FLAIR MR.
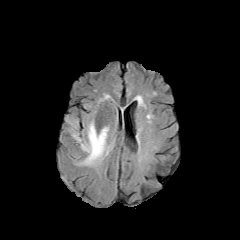
T1-weighted MR image.
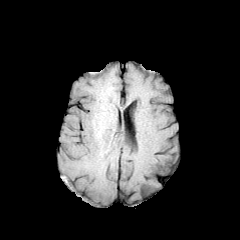
Post-contrast T1-weighted MR.
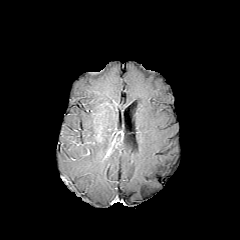
T2-weighted MRI.
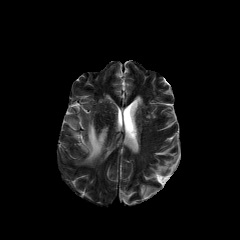
Brain.
{"peritumoral_edema": ["(left=67, top=119, right=111, bottom=165)"]}